Image size 240x240; Slice 96 of 155; Axial view; Head
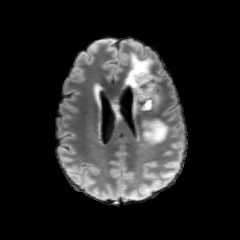
FLAIR magnetic resonance.
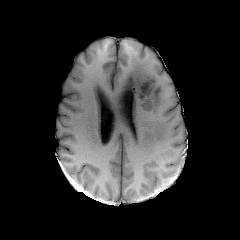
T1-weighted MR image.
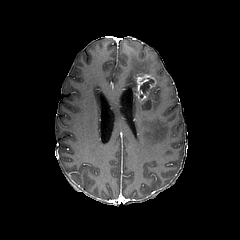
Post-contrast T1-weighted MR image.
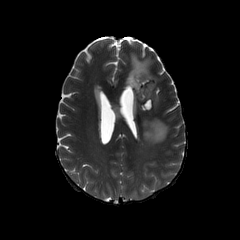
T2-weighted MR.
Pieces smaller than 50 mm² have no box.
necrotic tumor core: bounding box 140:79:154:93, 142:100:151:109
enhancing tumor: bounding box 133:72:156:101
peritumoral edema: bounding box 125:52:154:109, 149:87:158:102, 143:120:168:144